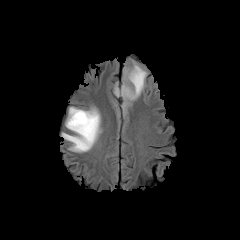
FLAIR MRI.
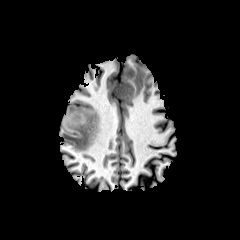
Same slice, T1-weighted MR.
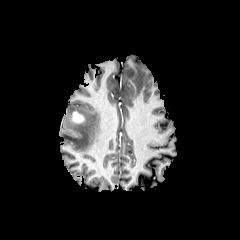
Post-contrast T1-weighted MR image.
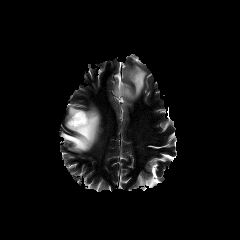
Same slice, T2-weighted magnetic resonance.
Axial plane, Brain
2 peritumoral edema regions appear at region(61, 107, 101, 152); region(114, 61, 147, 108). The enhancing tumor is located at region(72, 112, 83, 122).